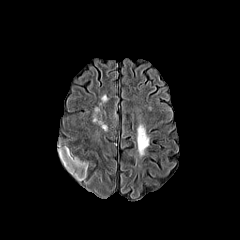
FLAIR MR image.
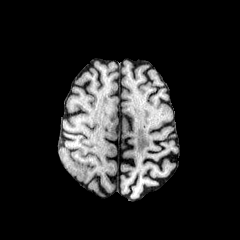
T1-weighted MR.
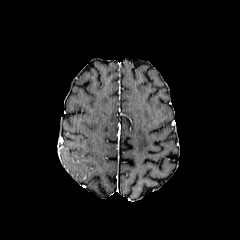
Post-contrast T1-weighted magnetic resonance.
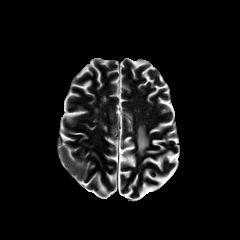
T2-weighted MRI.
Image size 240x240.
The peritumoral edema is bounded by <box>59,146,88,181</box>.